Image covers 240 mm x 240 mm. Head. Axial view. Slice index 62.
FLAIR magnetic resonance.
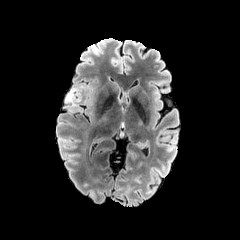
T1-weighted magnetic resonance.
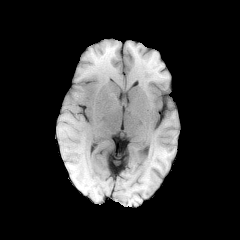
Post-contrast T1-weighted MR.
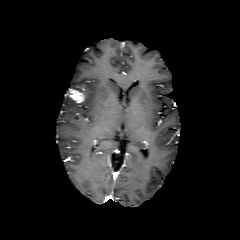
T2-weighted MR image.
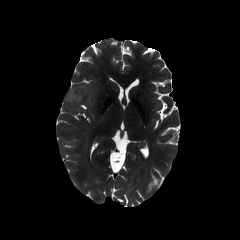
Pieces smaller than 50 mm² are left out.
The largest peritumoral edema region is located at bbox(65, 92, 75, 102). The enhancing tumor is located at bbox(69, 90, 84, 102).